Head. Image width 240 mm.
FLAIR MR.
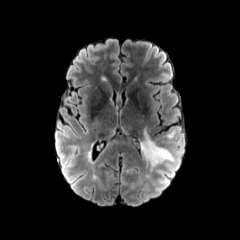
T1-weighted MR image.
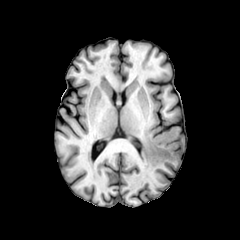
Post-contrast T1-weighted MRI.
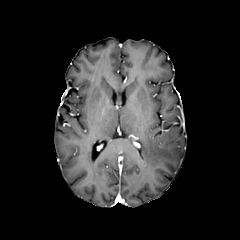
T2-weighted MR image.
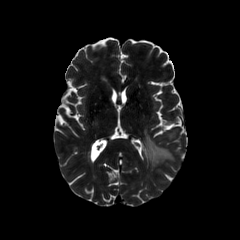
<segmentation>
  <peritumoral_edema>bbox=[166, 130, 175, 138]; bbox=[141, 130, 175, 166]</peritumoral_edema>
</segmentation>